Head, 240x240, Slice 70/155
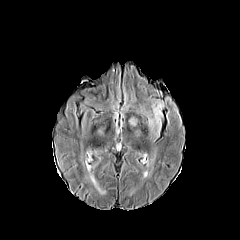
FLAIR magnetic resonance.
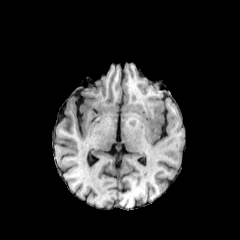
T1-weighted MRI.
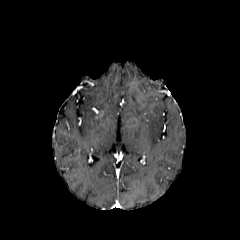
Post-contrast T1-weighted MR of the same slice.
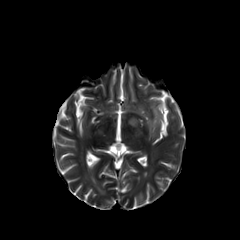
T2-weighted MR image.
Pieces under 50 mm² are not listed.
The 2 largest peritumoral edema regions are located at x1=149 y1=107 x2=161 y2=130, x1=129 y1=118 x2=137 y2=124.